Head | Axial slice | Image covers 240 mm x 240 mm | Slice index 95
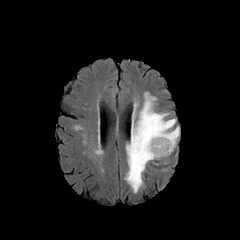
FLAIR MRI.
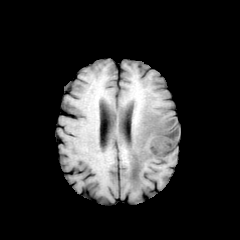
Same slice, T1-weighted magnetic resonance.
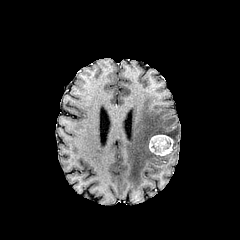
Post-contrast T1-weighted MRI.
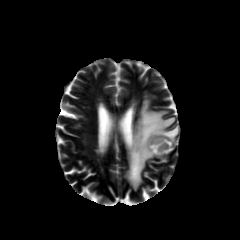
T2-weighted MR image.
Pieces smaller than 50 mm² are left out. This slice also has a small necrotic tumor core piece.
enhancing_tumor:
  - [149,134,173,156]
peritumoral_edema:
  - [125,92,179,192]